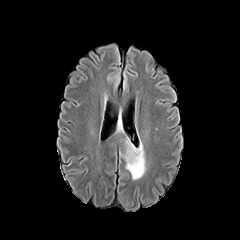
FLAIR magnetic resonance.
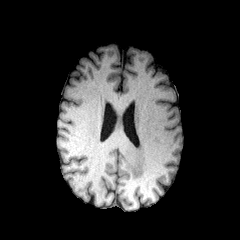
T1-weighted MR image.
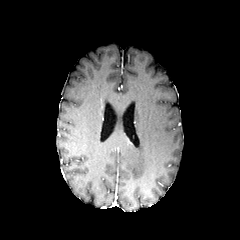
Post-contrast T1-weighted magnetic resonance of the same slice.
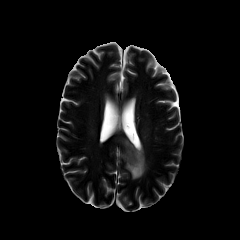
T2-weighted MRI of the same slice.
Axial view | Brain
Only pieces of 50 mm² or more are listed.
<segmentation>
  <peritumoral_edema>l=124, t=139, r=145, b=179</peritumoral_edema>
</segmentation>